FLAIR MR image.
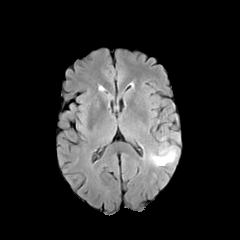
T1-weighted magnetic resonance.
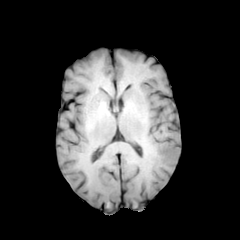
Post-contrast T1-weighted MR.
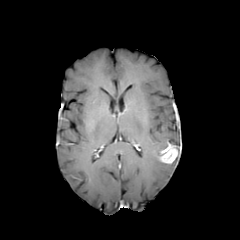
T2-weighted MR image.
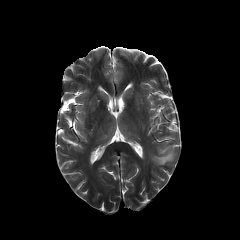
Axial view. Brain.
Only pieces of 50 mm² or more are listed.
The enhancing tumor is bounded by bbox(159, 143, 178, 163). The largest peritumoral edema region is at bbox(148, 142, 171, 166).